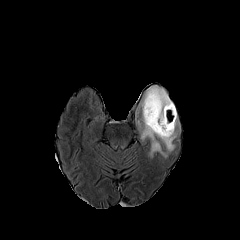
FLAIR magnetic resonance.
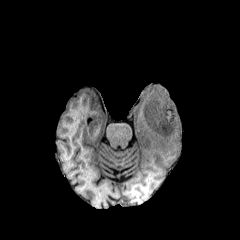
Same slice, T1-weighted MRI.
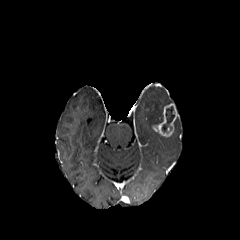
Post-contrast T1-weighted MRI of the same slice.
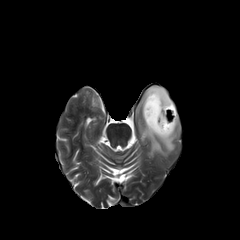
T2-weighted MR.
Axial view | 240x240 px
The peritumoral edema is located at {"x1": 139, "y1": 86, "x2": 179, "y2": 157}. The necrotic tumor core is located at {"x1": 162, "y1": 106, "x2": 174, "y2": 131}. The enhancing tumor is at {"x1": 152, "y1": 103, "x2": 177, "y2": 137}.